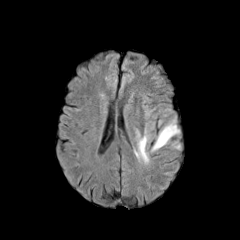
FLAIR MR.
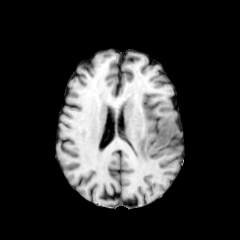
Same slice, T1-weighted MR.
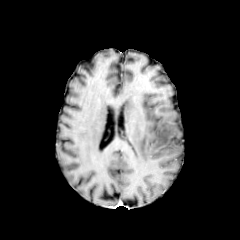
Post-contrast T1-weighted MR image of the same slice.
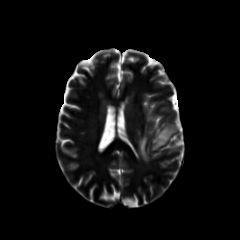
Same slice, T2-weighted MR.
Brain
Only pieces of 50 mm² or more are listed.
<segmentation>
  <peritumoral_edema>x1=139 y1=136 x2=148 y2=161, x1=153 y1=126 x2=175 y2=148</peritumoral_edema>
</segmentation>